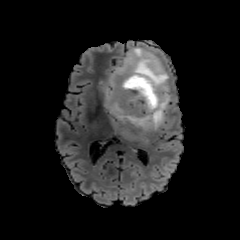
FLAIR MRI.
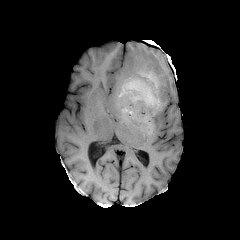
Same slice, T1-weighted magnetic resonance.
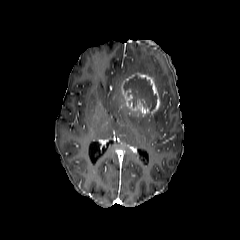
Post-contrast T1-weighted MRI of the same slice.
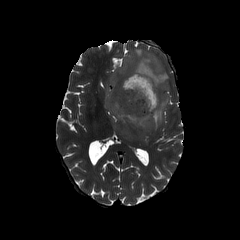
T2-weighted magnetic resonance.
Axial slice; Head
{"necrotic_tumor_core": ["region(124, 77, 156, 109)"], "enhancing_tumor": ["region(120, 73, 159, 114)"], "peritumoral_edema": ["region(102, 47, 173, 141)"]}